FLAIR MR image.
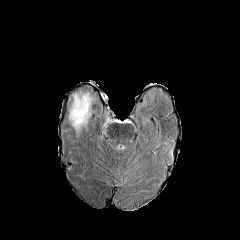
T1-weighted magnetic resonance.
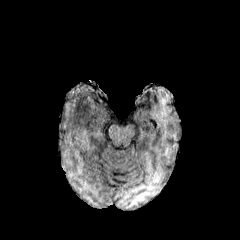
Post-contrast T1-weighted magnetic resonance.
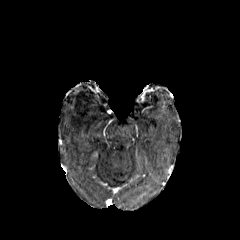
T2-weighted MRI.
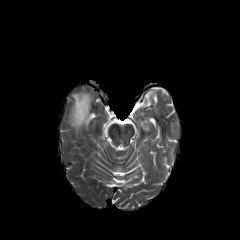
Axial slice, Head
* peritumoral edema: box(70, 92, 91, 128)